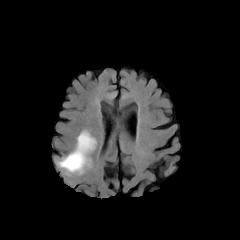
FLAIR MRI.
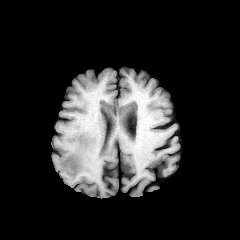
T1-weighted MRI.
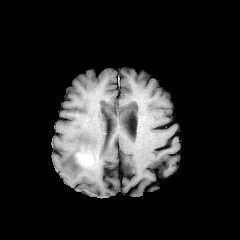
Post-contrast T1-weighted MR of the same slice.
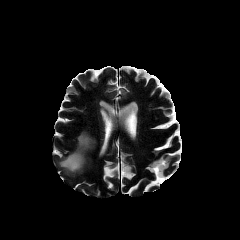
T2-weighted MR.
Axial plane | Brain
enhancing_tumor:
  - 77, 154, 90, 164
peritumoral_edema:
  - 57, 130, 96, 175